Axial plane; 240x240; Brain
FLAIR magnetic resonance.
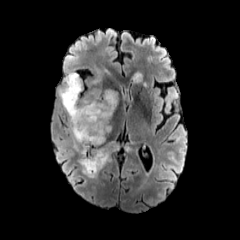
T1-weighted MRI.
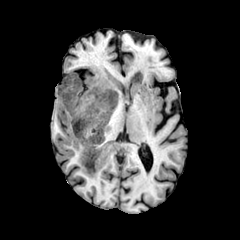
Post-contrast T1-weighted MR.
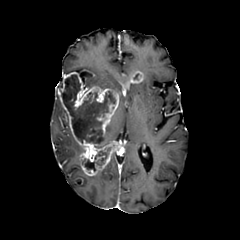
T2-weighted magnetic resonance.
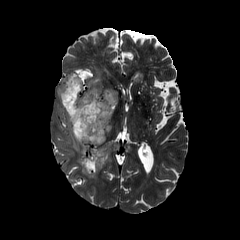
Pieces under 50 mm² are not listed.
The 2 largest enhancing tumor regions are located at [131, 71, 143, 83], [57, 72, 119, 176]. The 2 largest peritumoral edema regions are located at [91, 69, 101, 85], [72, 135, 82, 153]. The 2 largest necrotic tumor core regions are bounded by [61, 74, 115, 144], [82, 148, 110, 171].